Slice index 52
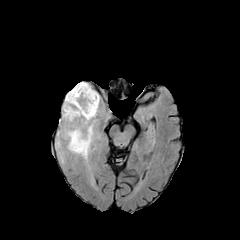
FLAIR MRI.
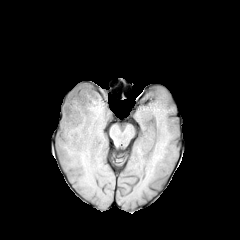
T1-weighted magnetic resonance.
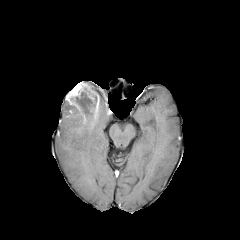
Post-contrast T1-weighted MRI.
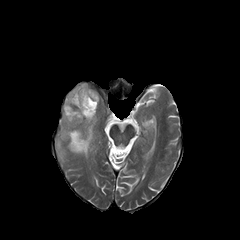
T2-weighted magnetic resonance of the same slice.
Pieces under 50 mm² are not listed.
The enhancing tumor is bounded by 65,82,99,126. The largest peritumoral edema region is bounded by 63,101,97,159. The largest necrotic tumor core region is at 76,92,96,115.